Axial view, Slice 113 of 155, Head
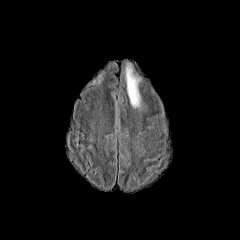
FLAIR MR image.
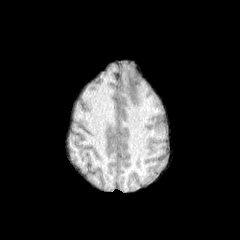
T1-weighted MRI.
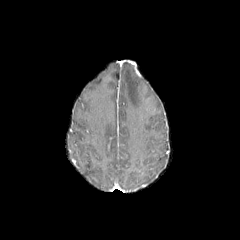
Same slice, post-contrast T1-weighted MRI.
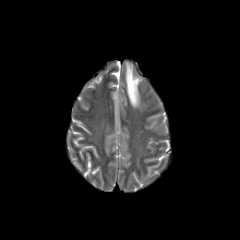
T2-weighted magnetic resonance.
peritumoral_edema:
  - box(124, 61, 141, 108)